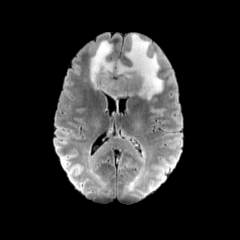
FLAIR MRI.
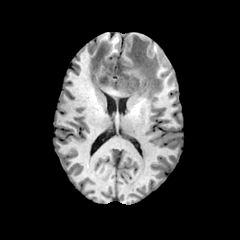
T1-weighted magnetic resonance.
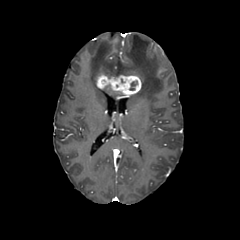
Post-contrast T1-weighted magnetic resonance of the same slice.
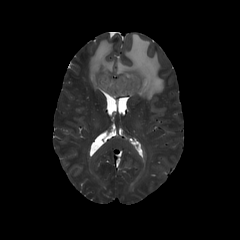
Same slice, T2-weighted MR.
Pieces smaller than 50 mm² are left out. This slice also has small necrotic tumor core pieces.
peritumoral_edema:
  - rect(89, 34, 165, 119)
  - rect(101, 88, 122, 98)
enhancing_tumor:
  - rect(96, 73, 141, 96)